Slice 70 of 155. Head. 240x240.
FLAIR MR.
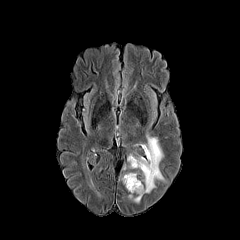
T1-weighted magnetic resonance.
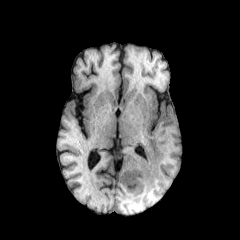
Post-contrast T1-weighted MRI.
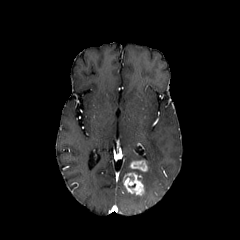
T2-weighted MR image.
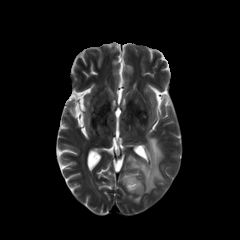
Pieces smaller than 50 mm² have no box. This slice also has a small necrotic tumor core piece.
{
  "enhancing_tumor": [
    "l=122, t=172, r=144, b=195",
    "l=129, t=159, r=148, b=171"
  ],
  "peritumoral_edema": [
    "l=127, t=154, r=143, b=162",
    "l=141, t=136, r=164, b=192",
    "l=129, t=193, r=141, b=202"
  ]
}